Slice 94/155, Image width 240 mm, 1.00 mm slice spacing
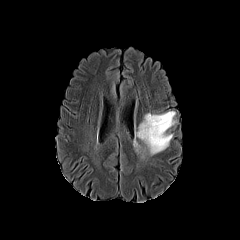
FLAIR MRI.
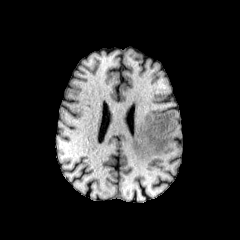
Same slice, T1-weighted MR image.
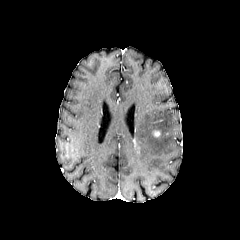
Same slice, post-contrast T1-weighted MRI.
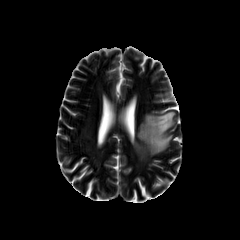
T2-weighted magnetic resonance.
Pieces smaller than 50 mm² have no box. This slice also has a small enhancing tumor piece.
<segmentation>
  <peritumoral_edema><bbox>135, 111, 176, 155</bbox></peritumoral_edema>
</segmentation>